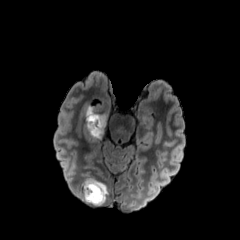
FLAIR magnetic resonance.
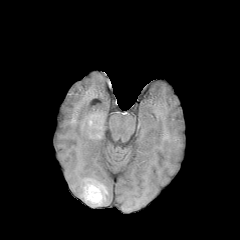
T1-weighted MR image.
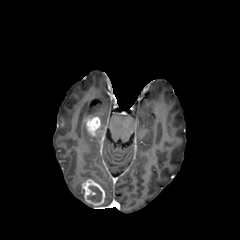
Post-contrast T1-weighted MR image.
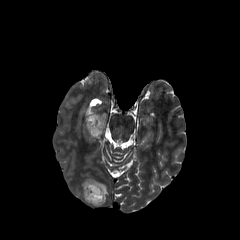
T2-weighted MR.
Axial slice
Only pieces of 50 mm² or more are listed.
Segmented structures:
• peritumoral edema: [x1=86, y1=178, x2=108, y2=205], [x1=84, y1=106, x2=106, y2=138]
• necrotic tumor core: [x1=87, y1=186, x2=101, y2=201]
• enhancing tumor: [x1=85, y1=116, x2=101, y2=135], [x1=82, y1=179, x2=105, y2=206]